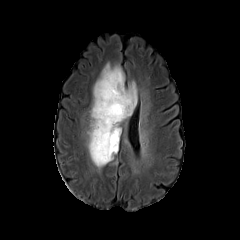
FLAIR magnetic resonance.
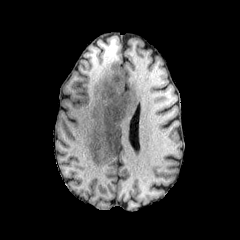
T1-weighted magnetic resonance of the same slice.
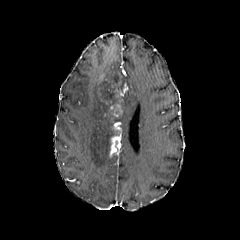
Post-contrast T1-weighted MRI of the same slice.
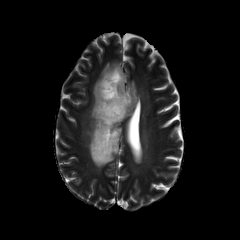
Same slice, T2-weighted MR.
Brain
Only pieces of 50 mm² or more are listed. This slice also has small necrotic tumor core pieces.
Findings:
* peritumoral edema: 87, 63, 137, 168
* enhancing tumor: 108, 122, 121, 157; 109, 90, 125, 118